FLAIR magnetic resonance.
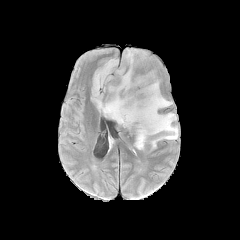
T1-weighted magnetic resonance.
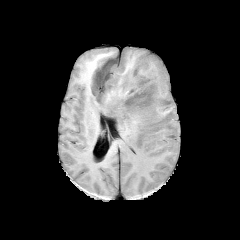
Post-contrast T1-weighted MR.
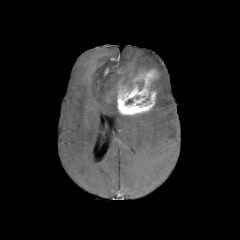
T2-weighted magnetic resonance.
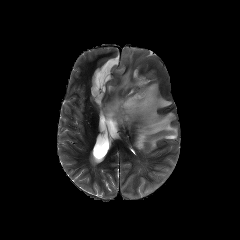
Image size 240x240
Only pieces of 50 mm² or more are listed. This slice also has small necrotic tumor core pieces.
Findings:
* enhancing tumor: box(117, 69, 157, 115)
* peritumoral edema: box(92, 46, 178, 152)